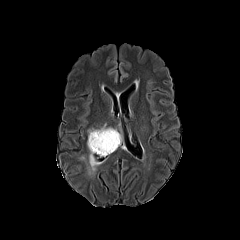
FLAIR MR image.
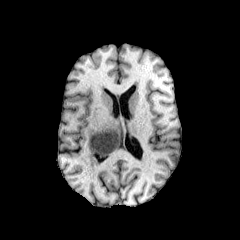
T1-weighted magnetic resonance of the same slice.
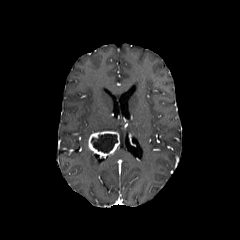
Same slice, post-contrast T1-weighted magnetic resonance.
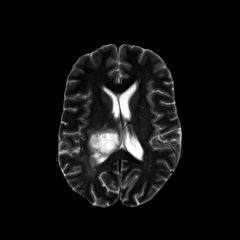
Same slice, T2-weighted magnetic resonance.
240x240. Axial slice.
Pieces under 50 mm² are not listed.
{"peritumoral_edema": ["bbox=[87, 123, 117, 137]", "bbox=[87, 150, 98, 175]"], "necrotic_tumor_core": ["bbox=[91, 134, 117, 152]"], "enhancing_tumor": ["bbox=[88, 131, 120, 158]"]}